FLAIR magnetic resonance.
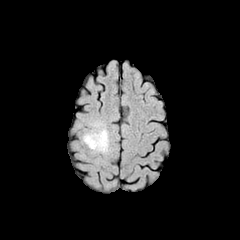
T1-weighted MR.
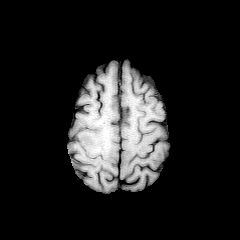
Post-contrast T1-weighted magnetic resonance.
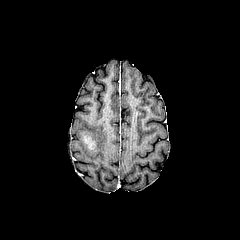
T2-weighted magnetic resonance.
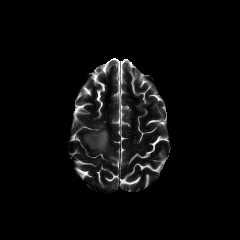
240x240
The peritumoral edema is bounded by <bbox>84, 129, 108, 152</bbox>. The enhancing tumor appears at <bbox>83, 136, 95, 148</bbox>.